FLAIR magnetic resonance.
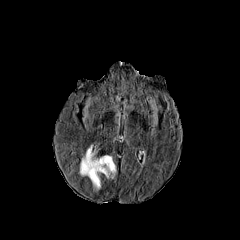
T1-weighted MRI.
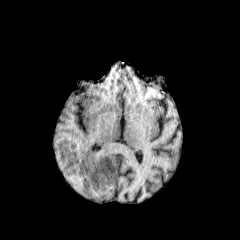
Post-contrast T1-weighted MR image.
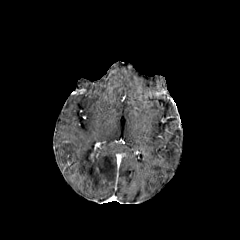
T2-weighted MRI.
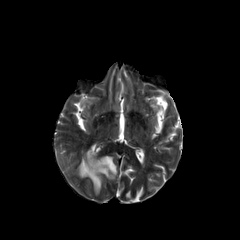
Head. 240x240.
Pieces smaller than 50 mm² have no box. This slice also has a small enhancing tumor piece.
peritumoral edema = x1=79, y1=146, x2=116, y2=190